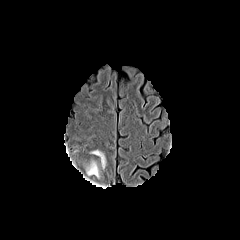
FLAIR magnetic resonance.
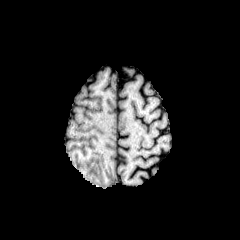
T1-weighted MR image of the same slice.
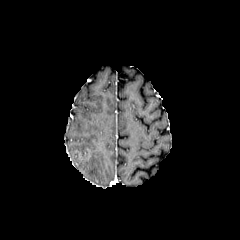
Post-contrast T1-weighted MRI.
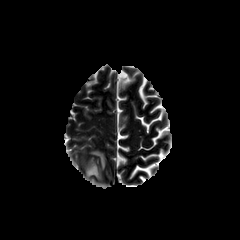
Same slice, T2-weighted MR.
Brain | Axial plane
peritumoral edema: (87,162,99,177), (92,150,105,168)